Axial plane | Brain | 240x240 px | Slice 63/155
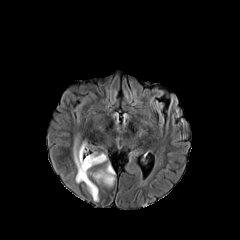
FLAIR MRI.
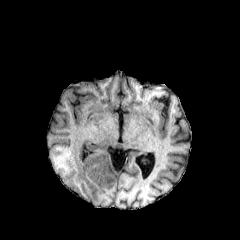
T1-weighted magnetic resonance of the same slice.
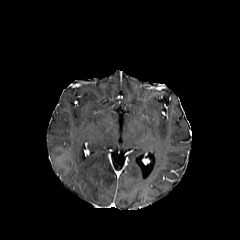
Post-contrast T1-weighted MR.
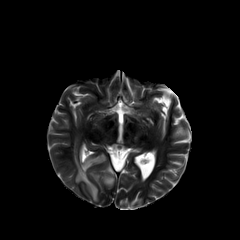
T2-weighted magnetic resonance.
peritumoral edema: bbox=[74, 142, 106, 201]; bbox=[93, 164, 114, 185]